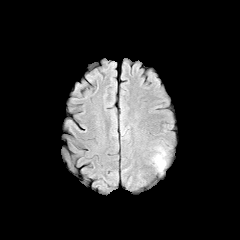
FLAIR MR.
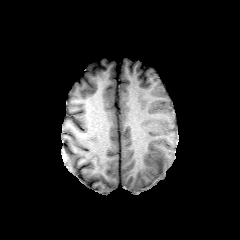
T1-weighted magnetic resonance of the same slice.
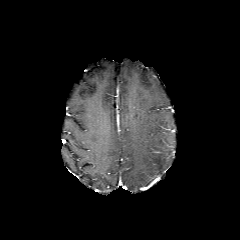
Same slice, post-contrast T1-weighted MR image.
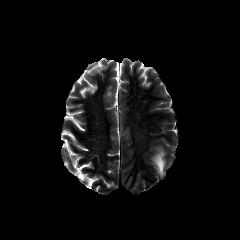
Same slice, T2-weighted MRI.
240x240 px | Axial plane
{
  "peritumoral_edema": [
    "box(153, 151, 165, 172)"
  ]
}